Head.
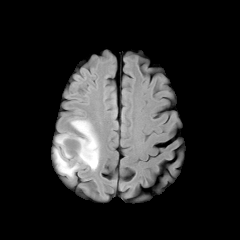
FLAIR MR image.
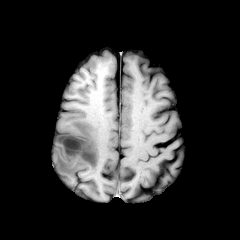
T1-weighted MR image.
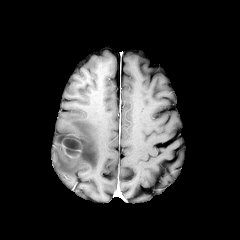
Post-contrast T1-weighted magnetic resonance of the same slice.
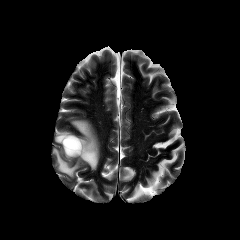
T2-weighted magnetic resonance.
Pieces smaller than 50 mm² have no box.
The enhancing tumor appears at rect(62, 134, 81, 157). The 2 largest necrotic tumor core regions appear at rect(65, 149, 79, 155); rect(63, 139, 80, 149). The peritumoral edema appears at rect(53, 119, 99, 177).